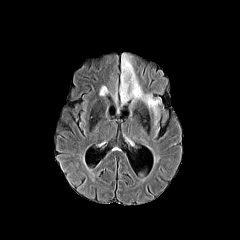
FLAIR MR image.
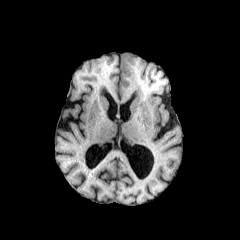
Same slice, T1-weighted MRI.
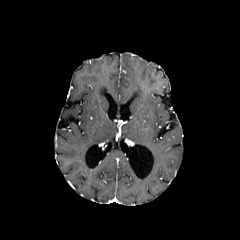
Same slice, post-contrast T1-weighted MR image.
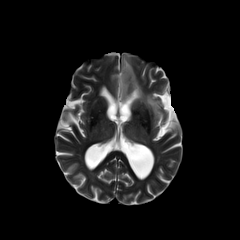
T2-weighted MR image of the same slice.
peritumoral_edema:
  - {"x1": 120, "y1": 53, "x2": 160, "y2": 116}